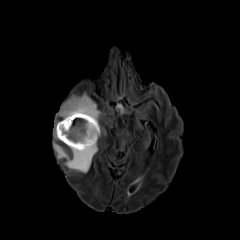
FLAIR magnetic resonance.
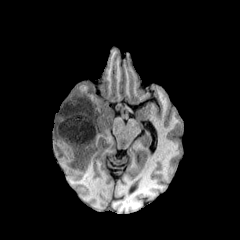
Same slice, T1-weighted MR image.
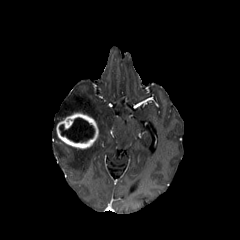
Post-contrast T1-weighted MRI of the same slice.
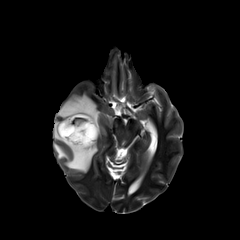
Same slice, T2-weighted MR.
240x240. Head.
{
  "peritumoral_edema": [
    "[x1=53, y1=121, x2=59, y2=139]",
    "[x1=53, y1=139, x2=98, y2=172]",
    "[x1=57, y1=93, x2=101, y2=136]"
  ],
  "necrotic_tumor_core": [
    "[x1=59, y1=118, x2=94, y2=142]"
  ],
  "enhancing_tumor": [
    "[x1=56, y1=112, x2=98, y2=149]"
  ]
}